FLAIR MR image.
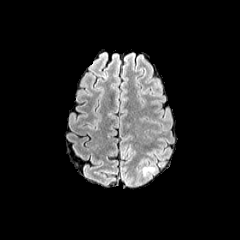
T1-weighted magnetic resonance.
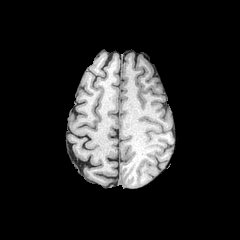
Post-contrast T1-weighted MR image.
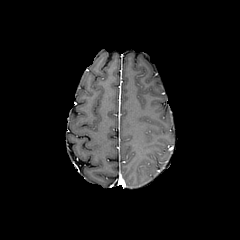
T2-weighted MR.
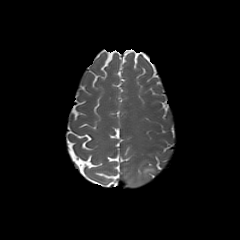
peritumoral edema = [x1=143, y1=167, x2=155, y2=175]